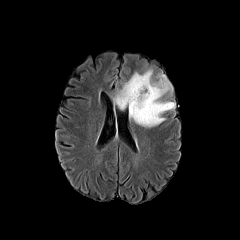
FLAIR magnetic resonance.
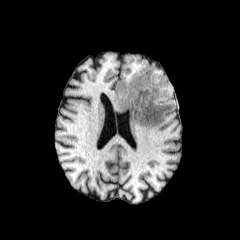
Same slice, T1-weighted MR.
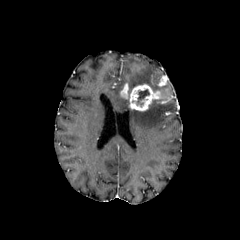
Post-contrast T1-weighted magnetic resonance.
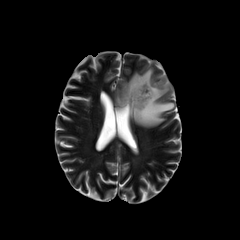
T2-weighted MR.
Axial view
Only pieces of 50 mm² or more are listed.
- enhancing tumor: x1=158, y1=75, x2=167, y2=86; x1=120, y1=83, x2=160, y2=111
- necrotic tumor core: x1=137, y1=89, x2=149, y2=106
- peritumoral edema: x1=127, y1=69, x2=172, y2=95; x1=129, y1=100, x2=175, y2=127; x1=113, y1=90, x2=129, y2=110